FLAIR MR.
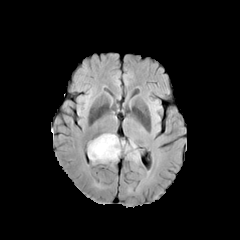
T1-weighted MR.
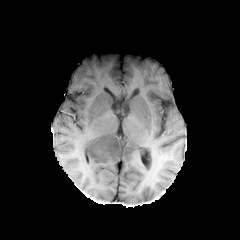
Post-contrast T1-weighted MR.
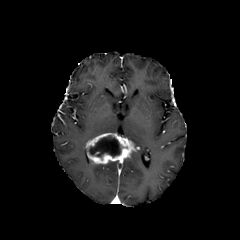
T2-weighted MRI.
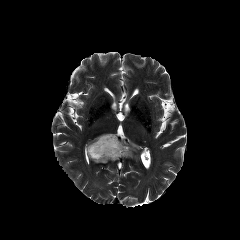
Axial plane
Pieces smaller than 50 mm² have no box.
Findings:
* enhancing tumor: [x1=85, y1=133, x2=135, y2=163]
* peritumoral edema: [x1=128, y1=149, x2=139, y2=161]
* necrotic tumor core: [x1=89, y1=136, x2=120, y2=156]